FLAIR MR.
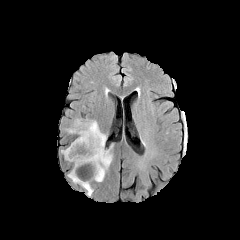
T1-weighted MR image.
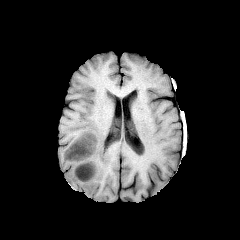
Post-contrast T1-weighted MR.
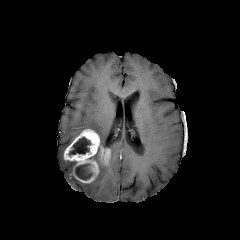
T2-weighted MR image.
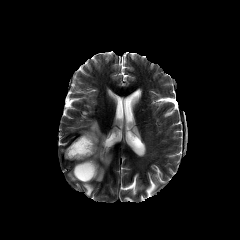
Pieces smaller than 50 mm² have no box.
necrotic tumor core: bounding box box(68, 137, 90, 155); box(75, 164, 90, 179)
peritumoral edema: bounding box box(69, 119, 106, 148); box(93, 148, 112, 181); box(68, 170, 93, 196)
enhancing tumor: bounding box box(64, 129, 110, 182)